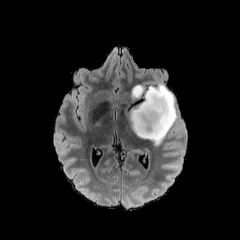
FLAIR MRI.
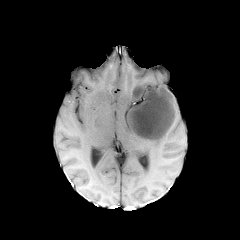
T1-weighted MR.
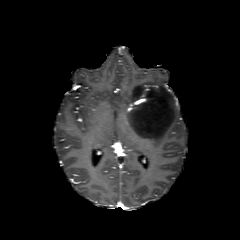
Same slice, post-contrast T1-weighted MRI.
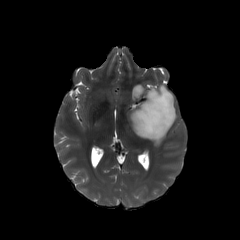
T2-weighted MRI.
240x240, Head, Axial view
<segmentation>
  <peritumoral_edema>x1=128, y1=84, x2=177, y2=145</peritumoral_edema>
</segmentation>